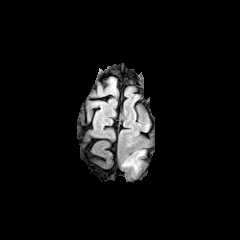
FLAIR MRI.
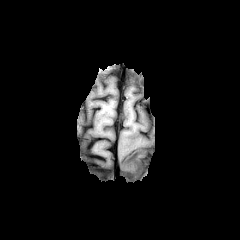
Same slice, T1-weighted MR image.
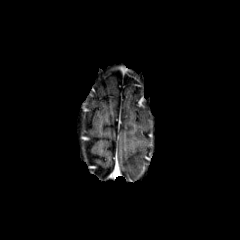
Same slice, post-contrast T1-weighted MR.
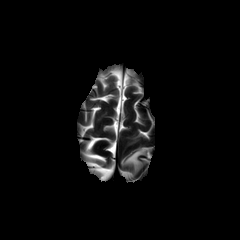
T2-weighted MR.
The peritumoral edema appears at <bbox>122, 150, 144, 172</bbox>.